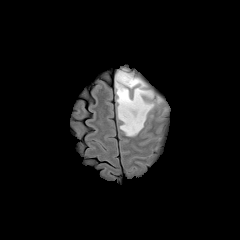
FLAIR MR.
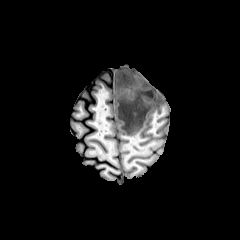
Same slice, T1-weighted MR.
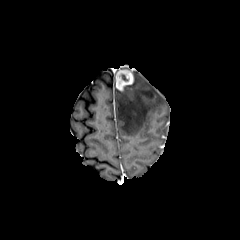
Post-contrast T1-weighted MR.
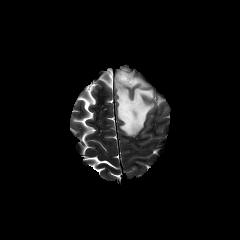
T2-weighted MRI.
240x240; Axial slice; Head
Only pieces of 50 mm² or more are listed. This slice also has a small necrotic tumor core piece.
peritumoral edema = [116,77,164,136]
enhancing tumor = [116,69,133,90]